Slice 118 of 155 | Axial slice
FLAIR MRI.
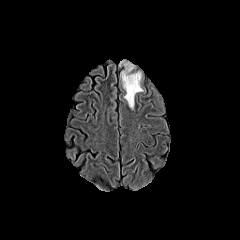
T1-weighted MR image.
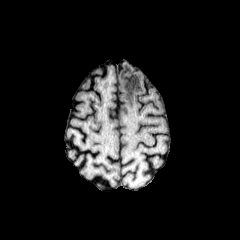
Post-contrast T1-weighted MR image.
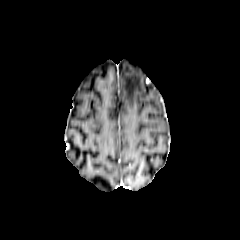
T2-weighted MRI.
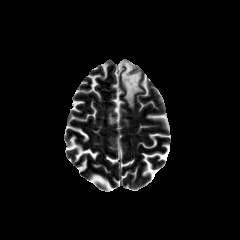
peritumoral edema: (x1=121, y1=61, x2=142, y2=108)